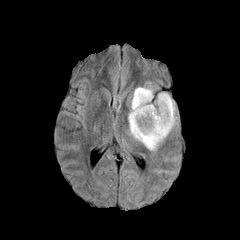
FLAIR magnetic resonance.
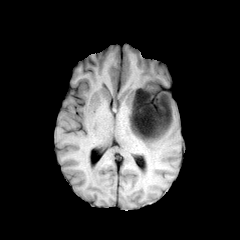
Same slice, T1-weighted MRI.
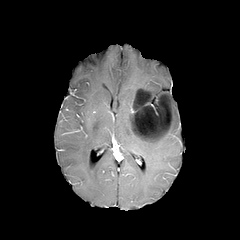
Post-contrast T1-weighted MR.
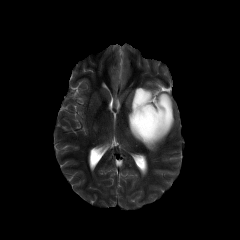
Same slice, T2-weighted MRI.
Axial plane, Brain, 240x240
Segmented structures:
- enhancing tumor: rect(133, 90, 157, 112); rect(132, 95, 171, 139)
- peritumoral edema: rect(128, 87, 176, 150)
- necrotic tumor core: rect(133, 91, 169, 137)